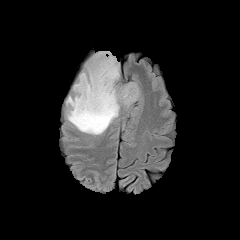
FLAIR MR image.
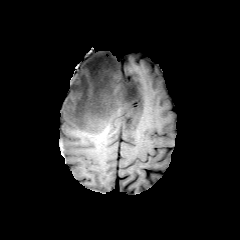
T1-weighted MRI of the same slice.
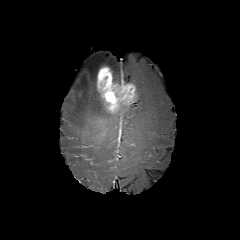
Same slice, post-contrast T1-weighted MR image.
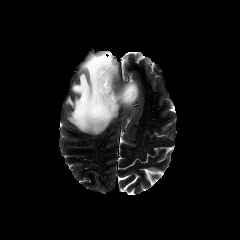
T2-weighted MR.
Head.
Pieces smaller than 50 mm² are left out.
enhancing tumor: 97:66:137:112 | peritumoral edema: 66:51:119:134